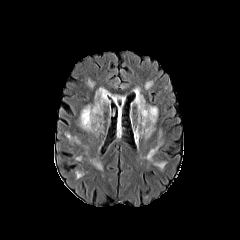
FLAIR MRI.
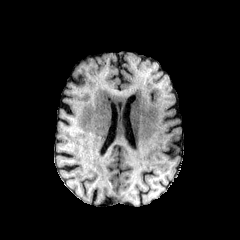
T1-weighted MRI.
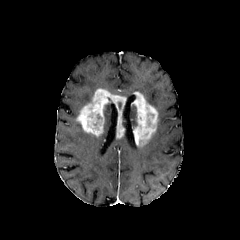
Same slice, post-contrast T1-weighted MR.
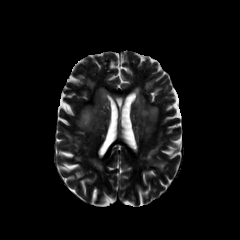
Same slice, T2-weighted MR.
Brain.
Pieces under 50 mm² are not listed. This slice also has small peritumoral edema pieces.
enhancing tumor = 77:88:126:137, 131:92:157:144